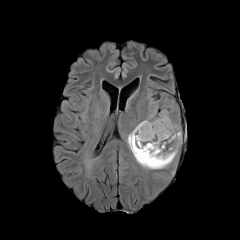
FLAIR MRI.
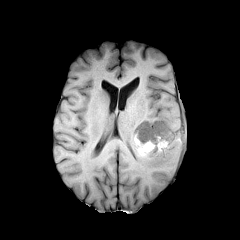
T1-weighted magnetic resonance of the same slice.
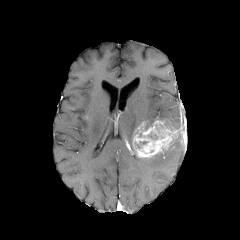
Same slice, post-contrast T1-weighted MR image.
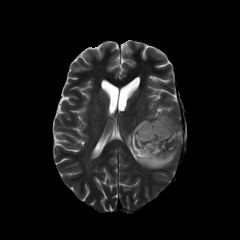
T2-weighted MR image of the same slice.
Brain
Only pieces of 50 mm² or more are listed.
<segmentation>
  <enhancing_tumor>left=133, top=120, right=177, bottom=157</enhancing_tumor>
  <necrotic_tumor_core>left=135, top=141, right=148, bottom=149</necrotic_tumor_core>
  <peritumoral_edema>left=157, top=110, right=177, bottom=129; left=127, top=128, right=181, bottom=169</peritumoral_edema>
</segmentation>